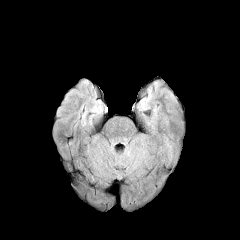
FLAIR MR image.
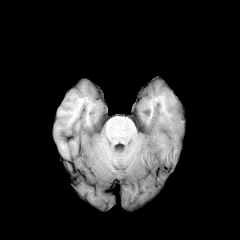
T1-weighted MRI.
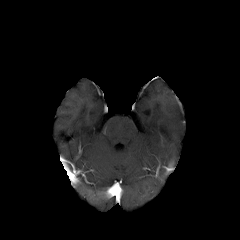
Same slice, post-contrast T1-weighted MRI.
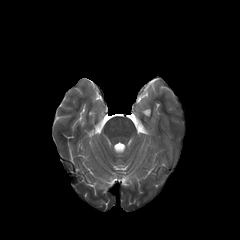
T2-weighted MR image.
Axial view; 240x240
{"peritumoral_edema": ["bbox(137, 97, 149, 112)"]}